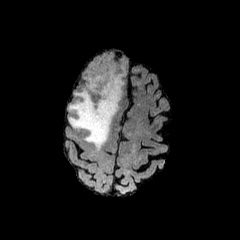
FLAIR MR image.
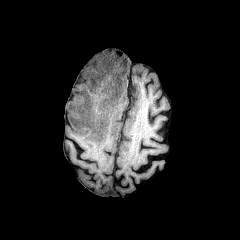
Same slice, T1-weighted MR.
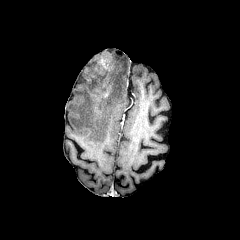
Post-contrast T1-weighted magnetic resonance.
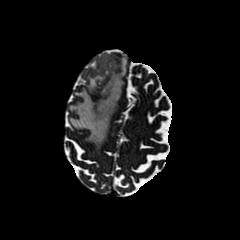
T2-weighted MR image.
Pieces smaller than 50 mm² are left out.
{
  "enhancing_tumor": [
    "box=[94, 53, 113, 74]"
  ],
  "peritumoral_edema": [
    "box=[68, 56, 126, 149]"
  ]
}